Brain. 240x240.
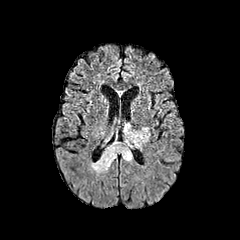
FLAIR magnetic resonance.
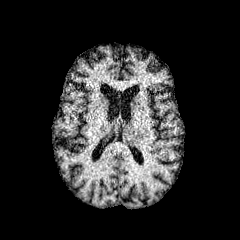
T1-weighted MR image of the same slice.
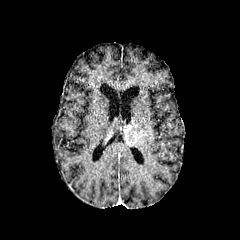
Post-contrast T1-weighted MR of the same slice.
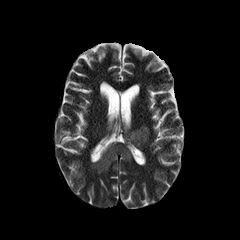
Same slice, T2-weighted MRI.
enhancing tumor: [132, 131, 147, 143] | peritumoral edema: [123, 122, 150, 148], [92, 142, 131, 172]